Image covers 240 mm x 240 mm | Image size 240x240
FLAIR MR.
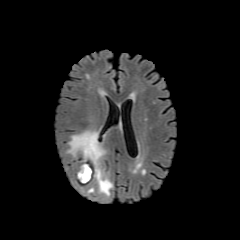
T1-weighted MR.
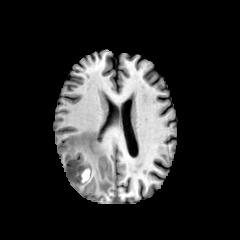
Post-contrast T1-weighted magnetic resonance.
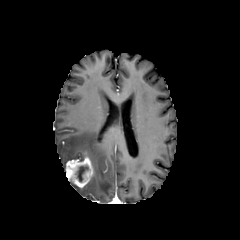
T2-weighted MRI.
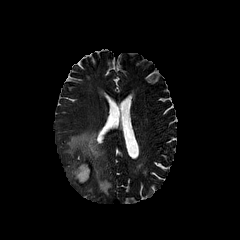
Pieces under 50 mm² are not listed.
enhancing_tumor:
  - (left=66, top=151, right=94, bottom=187)
peritumoral_edema:
  - (left=66, top=130, right=112, bottom=196)
necrotic_tumor_core:
  - (left=76, top=165, right=89, bottom=182)